FLAIR MRI.
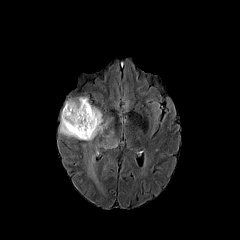
T1-weighted MR.
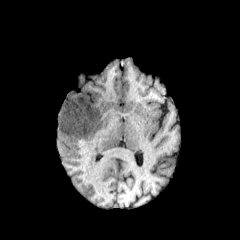
Post-contrast T1-weighted MRI.
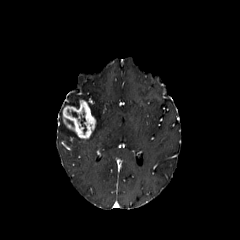
T2-weighted magnetic resonance.
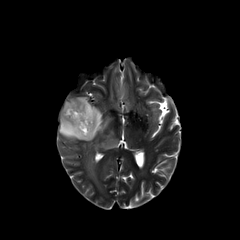
Brain
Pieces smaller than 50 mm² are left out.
peritumoral edema at l=65, t=97, r=88, b=105; l=86, t=154, r=98, b=185; l=59, t=102, r=108, b=145; l=95, t=131, r=118, b=148
necrotic tumor core at l=80, t=115, r=86, b=132
enhancing tumor at l=62, t=99, r=96, b=139